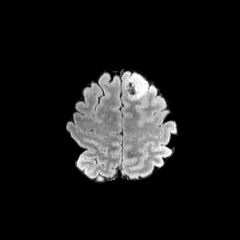
FLAIR MR.
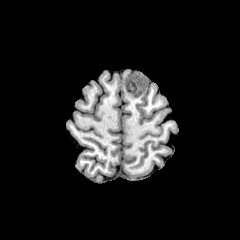
T1-weighted MRI.
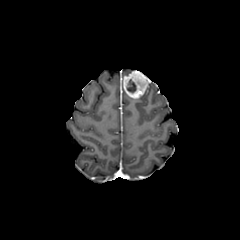
Post-contrast T1-weighted magnetic resonance.
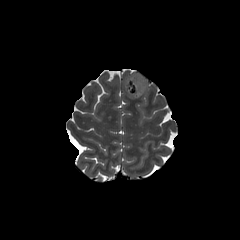
T2-weighted MRI.
Image size 240x240.
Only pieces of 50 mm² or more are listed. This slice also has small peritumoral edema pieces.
{
  "necrotic_tumor_core": [
    "l=127, t=79, r=136, b=92"
  ],
  "enhancing_tumor": [
    "l=123, t=72, r=148, b=98"
  ]
}